FLAIR MR.
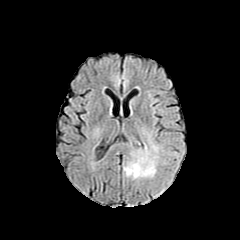
T1-weighted MR.
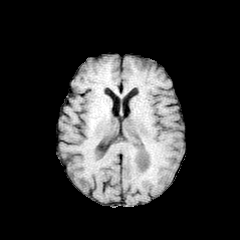
Post-contrast T1-weighted magnetic resonance.
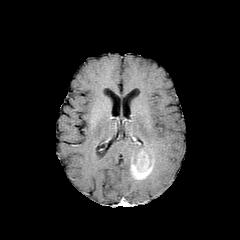
T2-weighted MR image.
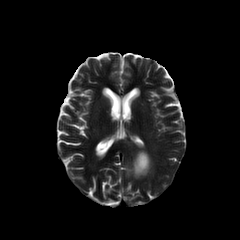
Axial plane | Head
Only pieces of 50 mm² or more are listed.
peritumoral edema = {"x1": 146, "y1": 154, "x2": 157, "y2": 177}, {"x1": 123, "y1": 161, "x2": 134, "y2": 179}, {"x1": 150, "y1": 144, "x2": 158, "y2": 152}
necrotic tumor core = {"x1": 133, "y1": 147, "x2": 141, "y2": 162}
enhancing tumor = {"x1": 131, "y1": 148, "x2": 154, "y2": 178}